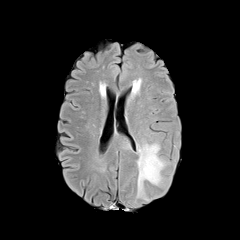
FLAIR MR.
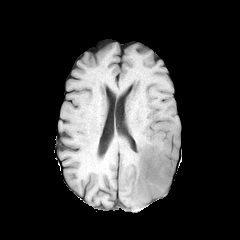
T1-weighted MR.
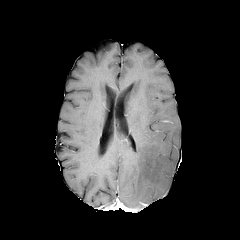
Post-contrast T1-weighted magnetic resonance.
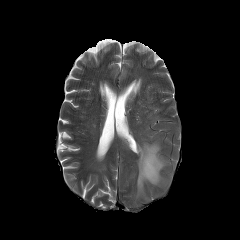
Same slice, T2-weighted magnetic resonance.
Head.
<segmentation>
  <peritumoral_edema><box>136,143,169,199</box>, <box>122,142,130,148</box></peritumoral_edema>
</segmentation>